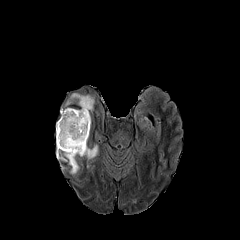
FLAIR MR image.
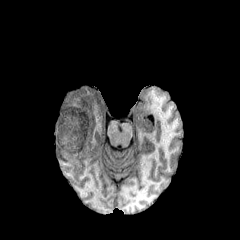
Same slice, T1-weighted MRI.
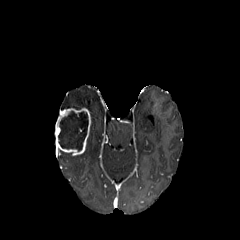
Post-contrast T1-weighted MR.
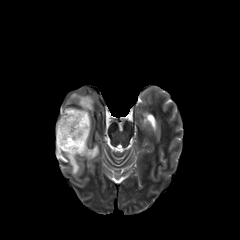
Same slice, T2-weighted MRI.
Brain, 240x240
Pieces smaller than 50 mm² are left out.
Annotated regions:
- peritumoral edema: left=80, top=144, right=98, bottom=159; left=65, top=93, right=94, bottom=112; left=60, top=152, right=79, bottom=174
- necrotic tumor core: left=58, top=111, right=88, bottom=151
- enhancing tumor: left=55, top=108, right=90, bottom=155